FLAIR magnetic resonance.
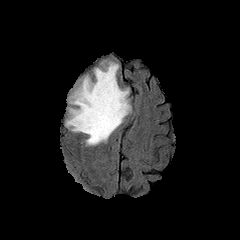
T1-weighted MR.
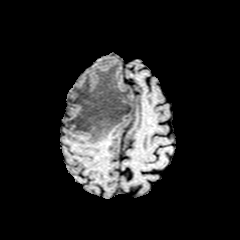
Post-contrast T1-weighted magnetic resonance.
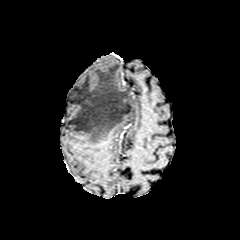
T2-weighted MR.
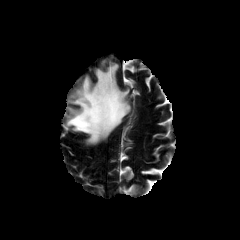
240x240.
The peritumoral edema is at [x1=65, y1=61, x2=131, y2=145].